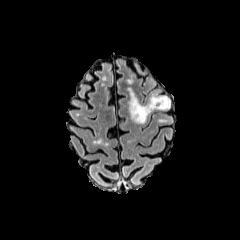
FLAIR MR image.
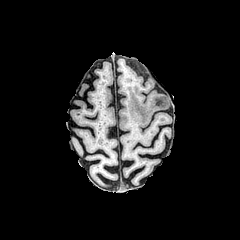
T1-weighted MRI of the same slice.
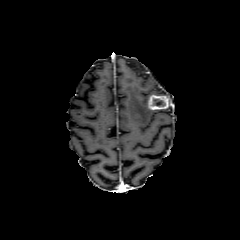
Post-contrast T1-weighted MR.
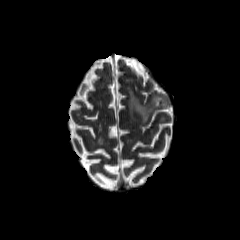
T2-weighted magnetic resonance.
Head
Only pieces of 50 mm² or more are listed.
The necrotic tumor core lies within rect(152, 98, 165, 107). The enhancing tumor lies within rect(148, 94, 170, 109). The largest peritumoral edema region is located at rect(129, 89, 166, 123).